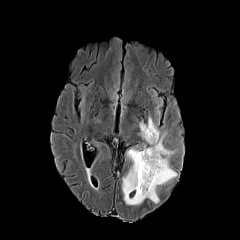
FLAIR MR.
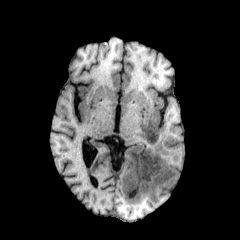
T1-weighted MRI.
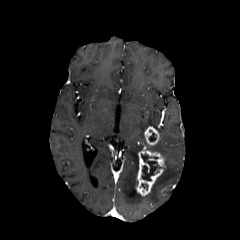
Post-contrast T1-weighted MR.
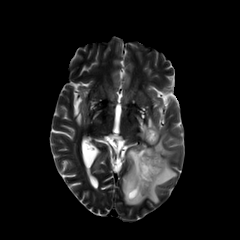
T2-weighted MRI.
Axial view, 240x240
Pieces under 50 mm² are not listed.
{"peritumoral_edema": ["region(122, 116, 177, 205)"], "enhancing_tumor": ["region(136, 146, 165, 196)", "region(144, 126, 159, 145)"], "necrotic_tumor_core": ["region(141, 154, 161, 180)", "region(149, 132, 156, 141)"]}